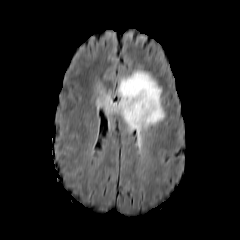
FLAIR magnetic resonance.
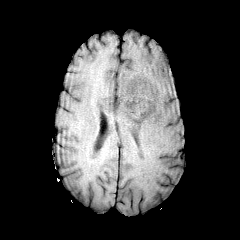
T1-weighted MR.
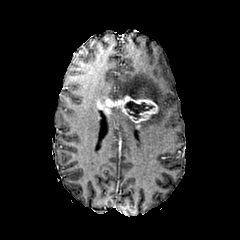
Post-contrast T1-weighted MRI of the same slice.
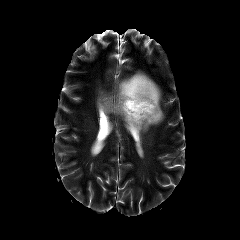
T2-weighted MR.
240x240 px
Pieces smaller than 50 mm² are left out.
{
  "peritumoral_edema": [
    "(111,70,164,143)",
    "(96,92,111,102)"
  ],
  "enhancing_tumor": [
    "(97,95,158,127)"
  ],
  "necrotic_tumor_core": [
    "(125,101,153,120)"
  ]
}